FLAIR MRI.
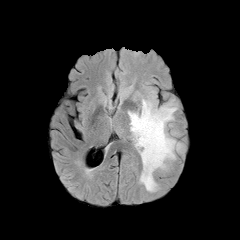
T1-weighted magnetic resonance.
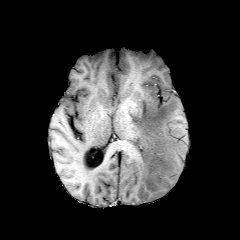
Post-contrast T1-weighted MR image.
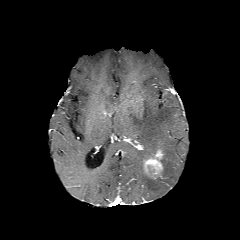
T2-weighted MR image.
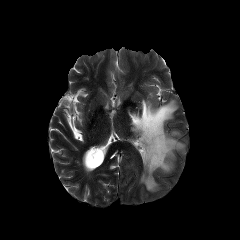
Image size 240x240 | Axial view | Head
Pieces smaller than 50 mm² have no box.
The largest enhancing tumor region appears at [x1=144, y1=149, x2=163, y2=176]. The largest peritumoral edema region lies within [x1=128, y1=99, x2=183, y2=191].